Axial plane | Slice index 71 | Image size 240x240
FLAIR magnetic resonance.
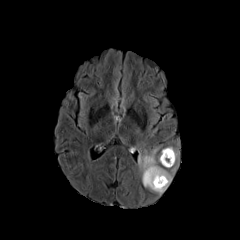
T1-weighted MR image.
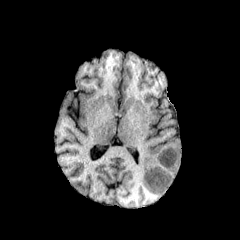
Post-contrast T1-weighted MR.
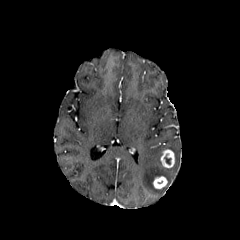
T2-weighted MR.
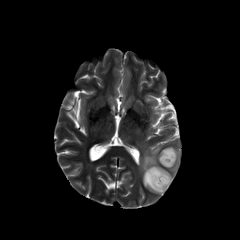
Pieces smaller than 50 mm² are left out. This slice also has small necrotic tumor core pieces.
enhancing_tumor:
  - [x1=160, y1=149, x2=174, y2=167]
  - [x1=153, y1=176, x2=167, y2=188]
peritumoral_edema:
  - [x1=138, y1=146, x2=179, y2=194]